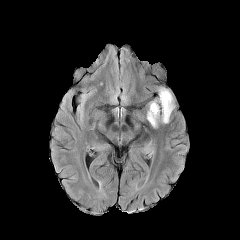
FLAIR MRI.
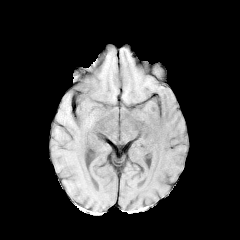
T1-weighted MR of the same slice.
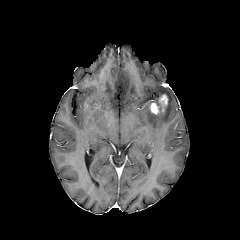
Post-contrast T1-weighted magnetic resonance.
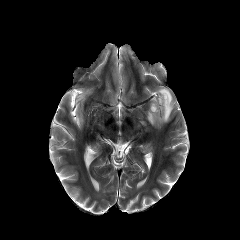
T2-weighted MR.
Head
enhancing tumor at 150:103:159:114, 159:94:167:111
peritumoral edema at 147:87:174:127